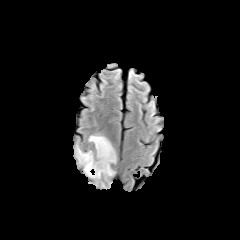
FLAIR MRI.
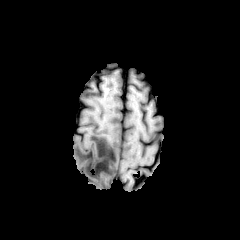
Same slice, T1-weighted magnetic resonance.
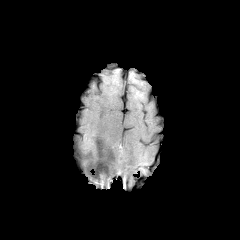
Post-contrast T1-weighted magnetic resonance.
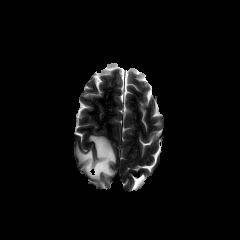
Same slice, T2-weighted MR image.
240x240 px
{
  "peritumoral_edema": [
    "(x1=78, y1=136, x2=115, y2=177)"
  ]
}